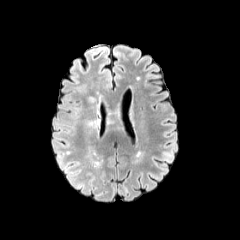
FLAIR MRI.
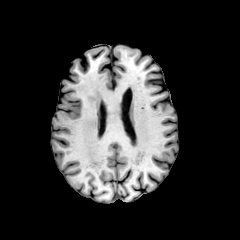
Same slice, T1-weighted MR image.
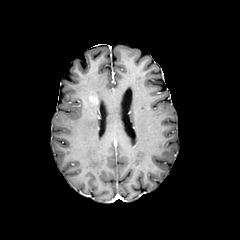
Post-contrast T1-weighted magnetic resonance.
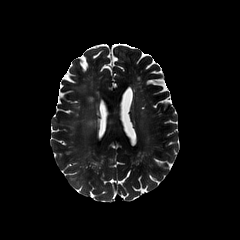
Same slice, T2-weighted magnetic resonance.
Brain
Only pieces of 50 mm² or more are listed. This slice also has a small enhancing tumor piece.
The 2 largest peritumoral edema regions appear at box(76, 84, 87, 93); box(84, 118, 98, 128).